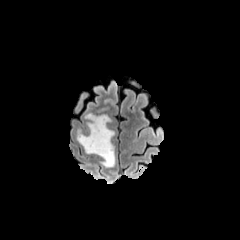
FLAIR MR.
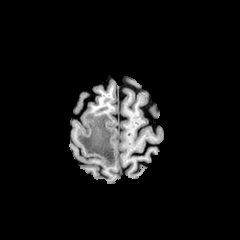
T1-weighted MRI of the same slice.
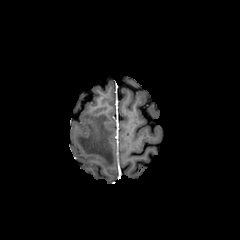
Post-contrast T1-weighted magnetic resonance.
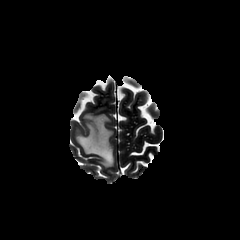
Same slice, T2-weighted magnetic resonance.
240x240. Brain.
{"peritumoral_edema": ["bbox(76, 113, 115, 167)"]}